FLAIR magnetic resonance.
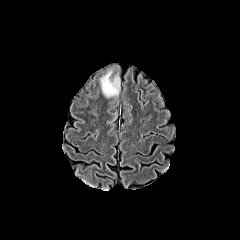
T1-weighted MR.
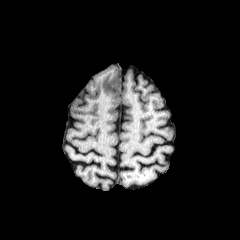
Post-contrast T1-weighted MR image.
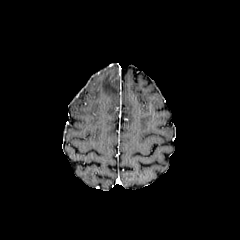
T2-weighted magnetic resonance.
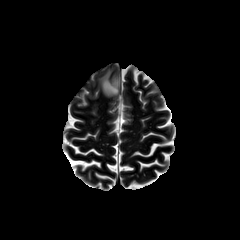
Axial plane.
peritumoral edema: left=100, top=70, right=119, bottom=97